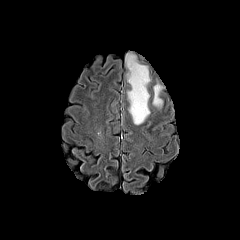
FLAIR MR image.
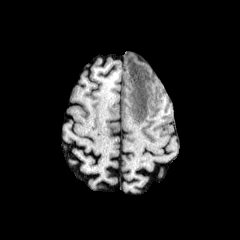
Same slice, T1-weighted MR.
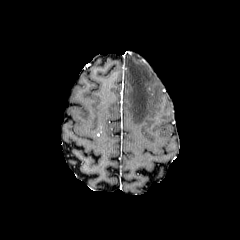
Post-contrast T1-weighted magnetic resonance of the same slice.
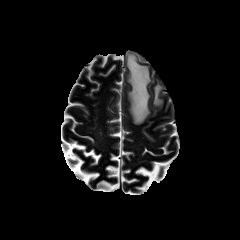
T2-weighted MR image of the same slice.
Head
- peritumoral edema: <box>125,54,150,124</box>, <box>153,84,162,106</box>